FLAIR MRI.
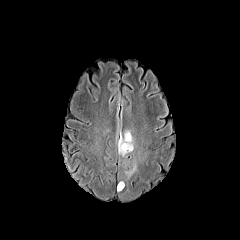
T1-weighted MR.
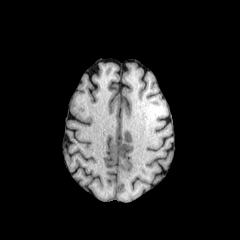
Post-contrast T1-weighted magnetic resonance.
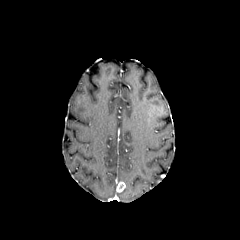
T2-weighted MRI.
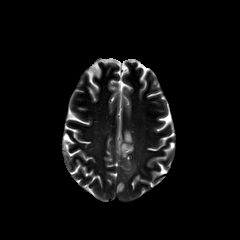
Brain
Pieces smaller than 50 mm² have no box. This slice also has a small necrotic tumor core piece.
Annotated regions:
• enhancing tumor: region(117, 182, 125, 192)
• peritumoral edema: region(118, 130, 134, 157); region(124, 160, 136, 178)